FLAIR MR image.
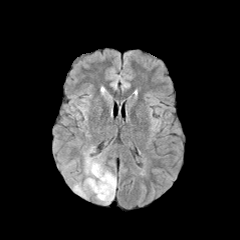
T1-weighted MR.
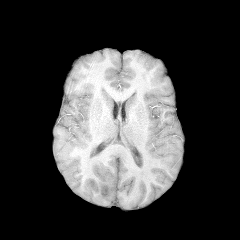
Post-contrast T1-weighted MR image.
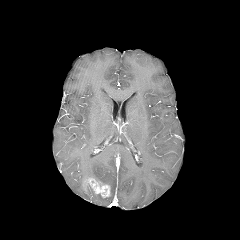
T2-weighted MR.
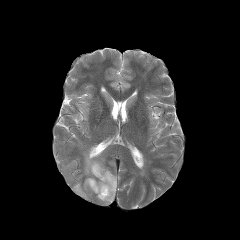
Axial slice. Brain.
{
  "peritumoral_edema": [
    "x1=72 y1=146 x2=116 y2=204"
  ],
  "enhancing_tumor": [
    "x1=84 y1=178 x2=110 y2=197"
  ]
}